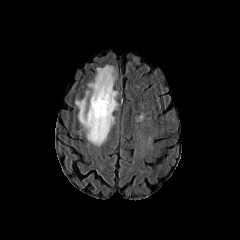
FLAIR magnetic resonance.
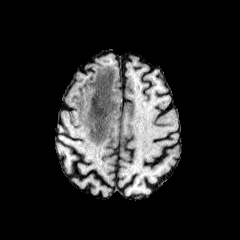
T1-weighted MR of the same slice.
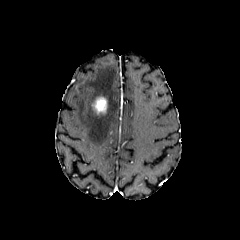
Post-contrast T1-weighted MR image.
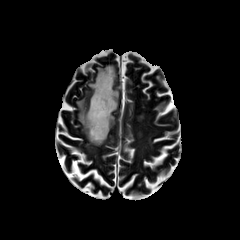
Same slice, T2-weighted magnetic resonance.
Brain
Annotated regions:
- enhancing tumor: {"x1": 91, "y1": 95, "x2": 107, "y2": 115}
- peritumoral edema: {"x1": 75, "y1": 65, "x2": 118, "y2": 146}